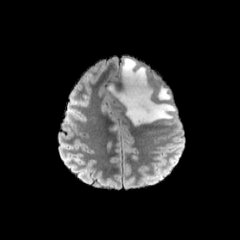
FLAIR MR.
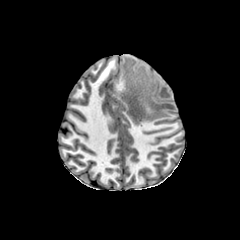
Same slice, T1-weighted MR.
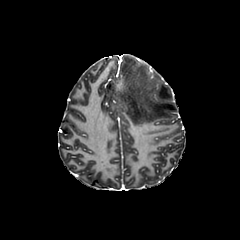
Post-contrast T1-weighted magnetic resonance of the same slice.
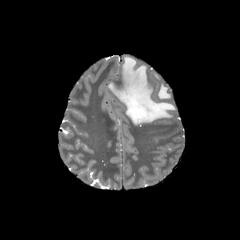
T2-weighted MR.
Head
peritumoral edema: {"x1": 158, "y1": 86, "x2": 170, "y2": 100}, {"x1": 109, "y1": 57, "x2": 175, "y2": 125}